FLAIR MR image.
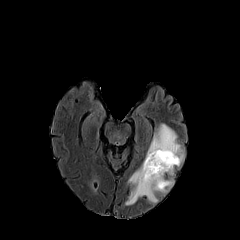
T1-weighted MRI.
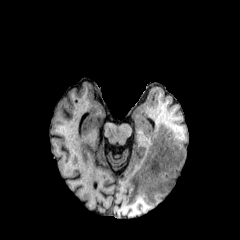
Post-contrast T1-weighted MRI.
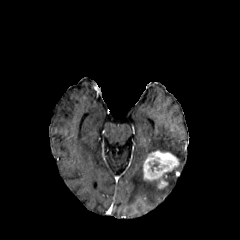
T2-weighted MR.
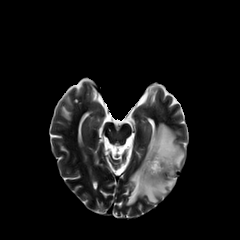
240x240 | Axial view
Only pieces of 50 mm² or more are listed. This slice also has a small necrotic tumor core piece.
enhancing tumor at [x1=143, y1=150, x2=179, y2=188]
peritumoral edema at [x1=145, y1=123, x2=184, y2=168], [x1=125, y1=164, x2=174, y2=205]